FLAIR MR.
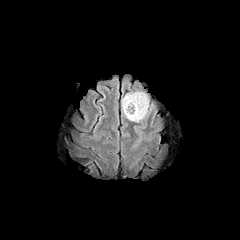
T1-weighted MR.
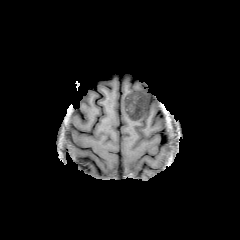
Post-contrast T1-weighted MR.
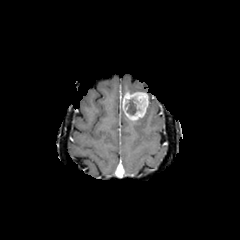
T2-weighted magnetic resonance.
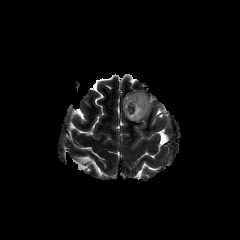
Head, Axial slice, Image size 240x240
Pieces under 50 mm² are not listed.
{"peritumoral_edema": ["bbox(133, 98, 153, 122)"], "enhancing_tumor": ["bbox(122, 92, 148, 120)"], "necrotic_tumor_core": ["bbox(125, 98, 136, 114)"]}